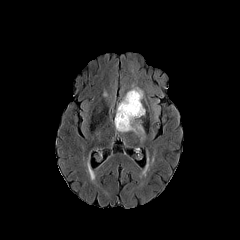
FLAIR MR image.
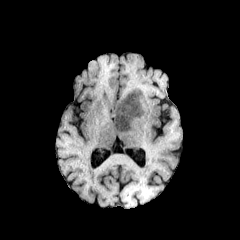
T1-weighted magnetic resonance.
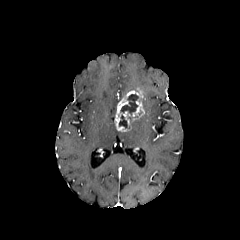
Post-contrast T1-weighted MRI.
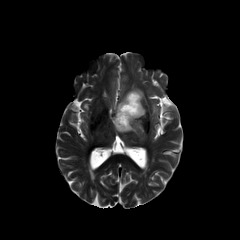
Same slice, T2-weighted MR image.
Head
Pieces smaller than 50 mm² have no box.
peritumoral edema: region(131, 120, 144, 139)
necrotic tumor core: region(120, 94, 138, 115); region(119, 115, 127, 128)
enhancing tumor: region(114, 88, 144, 131)